FLAIR MR image.
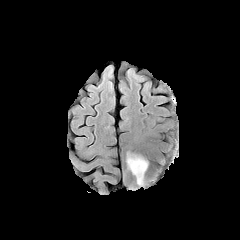
T1-weighted MRI.
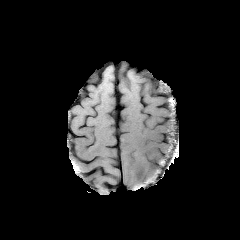
Post-contrast T1-weighted MRI.
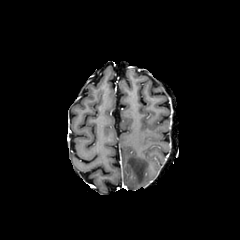
T2-weighted MR image.
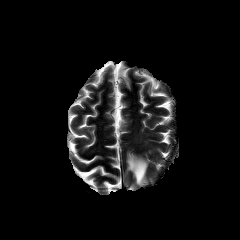
Brain; Axial slice
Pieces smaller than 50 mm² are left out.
peritumoral edema: 126 153 148 186